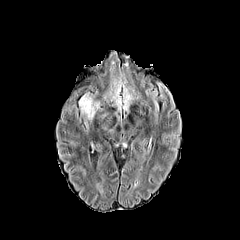
FLAIR MR image.
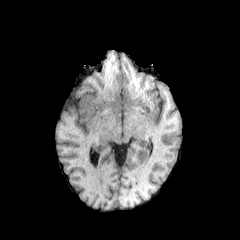
T1-weighted MR image.
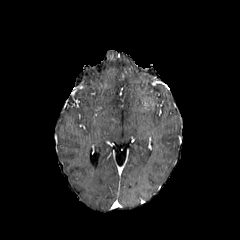
Post-contrast T1-weighted MR of the same slice.
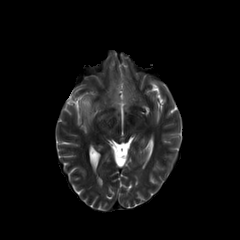
T2-weighted magnetic resonance.
Brain, 240x240
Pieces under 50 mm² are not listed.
Annotated regions:
* peritumoral edema: bbox=[80, 96, 97, 118]; bbox=[124, 89, 131, 103]